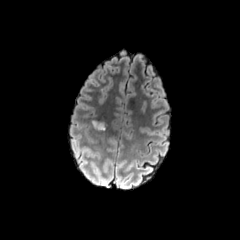
FLAIR MR image.
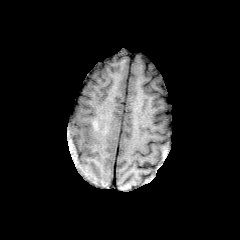
Same slice, T1-weighted MRI.
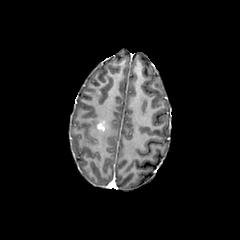
Post-contrast T1-weighted MR.
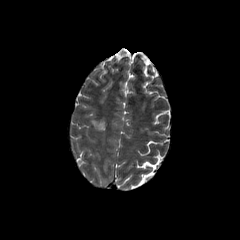
Same slice, T2-weighted MRI.
240x240. Brain.
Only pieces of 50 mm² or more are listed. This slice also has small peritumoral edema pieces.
enhancing_tumor:
  - 97 120 105 131